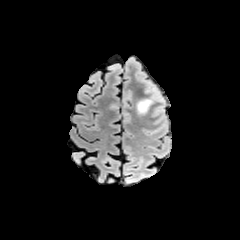
FLAIR MRI.
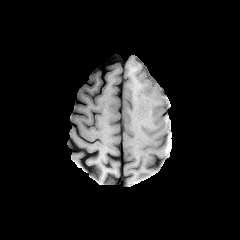
T1-weighted MR.
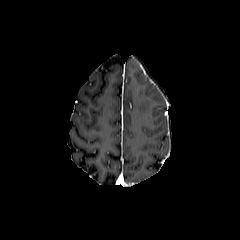
Post-contrast T1-weighted magnetic resonance.
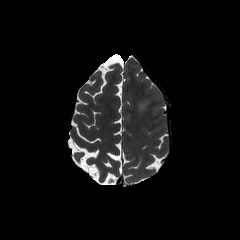
T2-weighted magnetic resonance.
240x240 | Axial plane
Findings:
* peritumoral edema: region(137, 99, 152, 113)